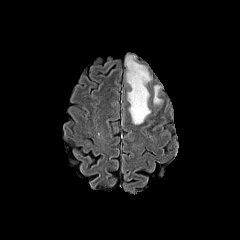
FLAIR magnetic resonance.
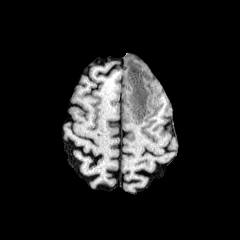
T1-weighted MRI.
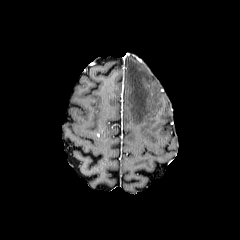
Same slice, post-contrast T1-weighted MR image.
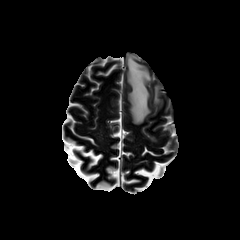
T2-weighted MRI.
Brain. Axial slice.
peritumoral_edema:
  - 154,85,161,103
  - 126,56,150,124